Image width 240 mm, 1.00 mm slice spacing. Slice 46/155.
FLAIR MR image.
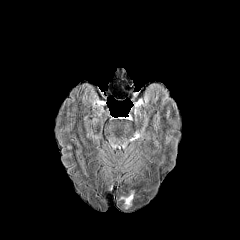
T1-weighted magnetic resonance.
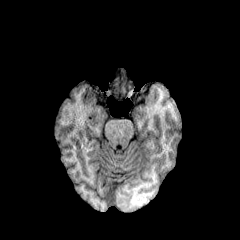
Post-contrast T1-weighted MR.
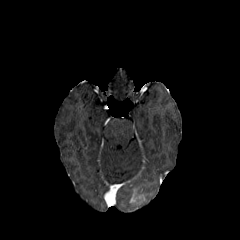
T2-weighted MR.
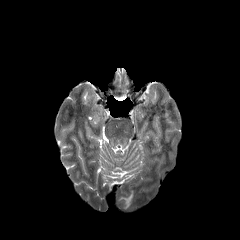
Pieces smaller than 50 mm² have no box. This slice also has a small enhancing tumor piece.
The peritumoral edema appears at [120,189,134,209].